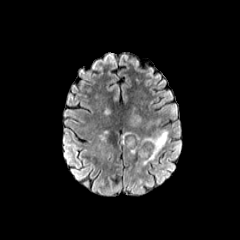
FLAIR MR image.
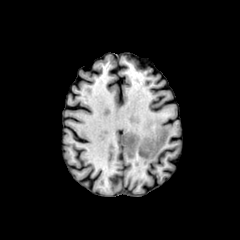
T1-weighted MR image.
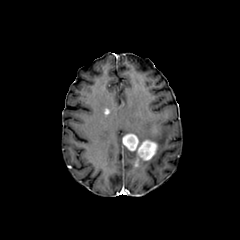
Post-contrast T1-weighted magnetic resonance.
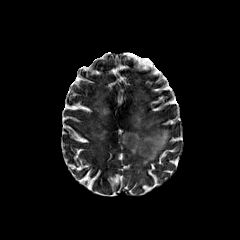
Same slice, T2-weighted magnetic resonance.
240x240 px
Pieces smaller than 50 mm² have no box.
enhancing tumor: 122,133,138,151; 137,140,157,160 | peritumoral edema: 130,129,170,165